FLAIR MRI.
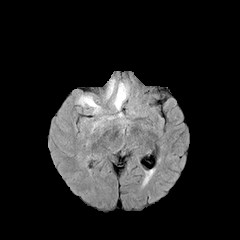
T1-weighted MR.
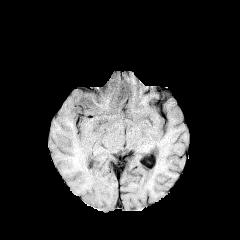
Post-contrast T1-weighted magnetic resonance.
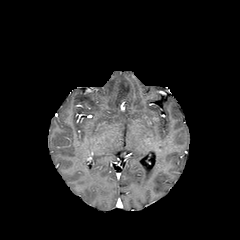
T2-weighted MR image.
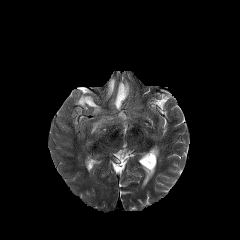
Axial view. Head.
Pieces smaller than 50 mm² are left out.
{
  "peritumoral_edema": [
    "bbox=[77, 95, 101, 113]",
    "bbox=[93, 116, 115, 128]",
    "bbox=[113, 82, 129, 110]",
    "bbox=[106, 79, 115, 98]"
  ]
}